Brain. 240x240 px.
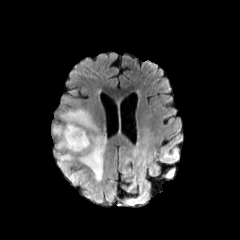
FLAIR MR.
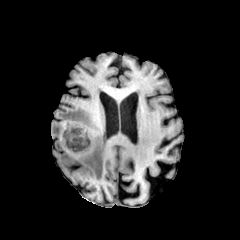
T1-weighted MR.
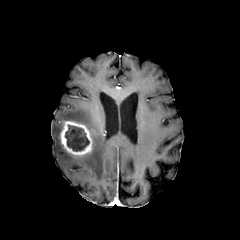
Post-contrast T1-weighted MR image.
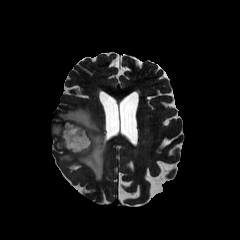
T2-weighted MR.
Annotated regions:
• enhancing tumor: <bbox>60, 121, 92, 156</bbox>
• necrotic tumor core: <bbox>65, 125, 89, 151</bbox>
• peritumoral edema: <bbox>52, 108, 106, 203</bbox>